Axial plane
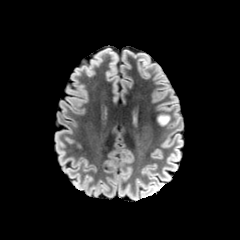
FLAIR MR.
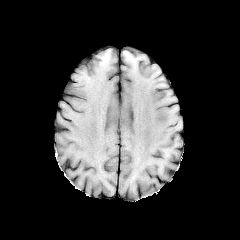
T1-weighted MRI.
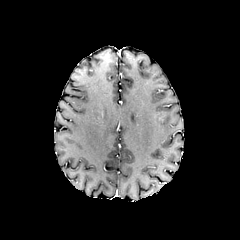
Post-contrast T1-weighted MR image of the same slice.
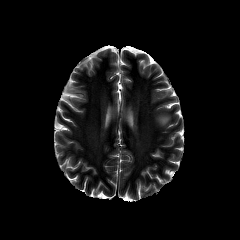
T2-weighted MRI.
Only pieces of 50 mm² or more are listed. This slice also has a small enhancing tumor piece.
{"peritumoral_edema": ["l=157, t=113, r=170, b=125"]}